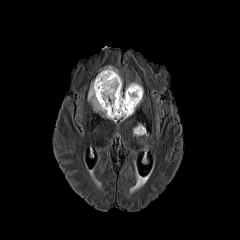
FLAIR MRI.
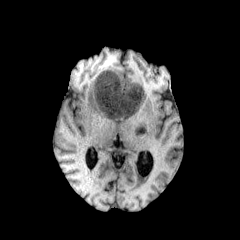
Same slice, T1-weighted MRI.
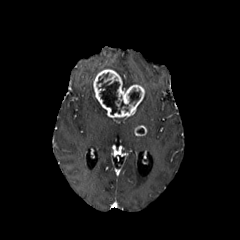
Same slice, post-contrast T1-weighted MR.
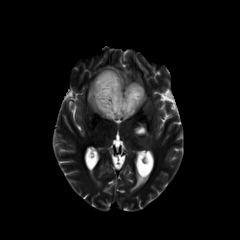
T2-weighted MR image.
Head
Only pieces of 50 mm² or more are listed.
necrotic tumor core — l=97, t=73, r=128, b=114; l=129, t=89, r=140, b=103
peritumoral edema — l=125, t=80, r=140, b=89; l=99, t=65, r=119, b=74; l=88, t=81, r=125, b=121
enhancing tumor — l=134, t=125, r=146, b=136; l=93, t=69, r=144, b=118